Slice index 73, 240x240 px, Image covers 240 mm x 240 mm, Axial slice
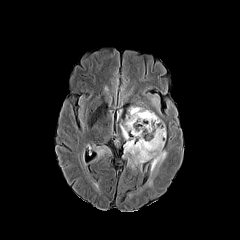
FLAIR magnetic resonance.
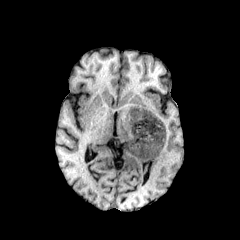
T1-weighted magnetic resonance.
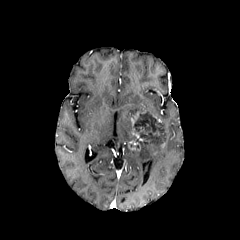
Post-contrast T1-weighted MRI of the same slice.
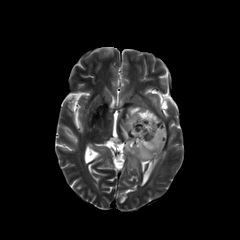
T2-weighted MRI.
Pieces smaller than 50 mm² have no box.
enhancing tumor: l=128, t=140, r=140, b=150; l=131, t=110, r=146, b=141 | necrotic tumor core: l=133, t=111, r=163, b=145 | peritumoral edema: l=86, t=176, r=101, b=194; l=162, t=123, r=166, b=142; l=120, t=106, r=167, b=188; l=92, t=145, r=111, b=162